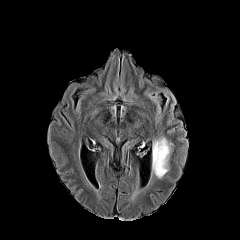
FLAIR magnetic resonance.
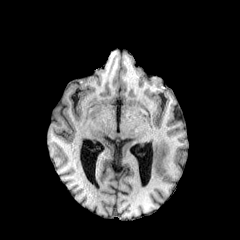
T1-weighted MRI of the same slice.
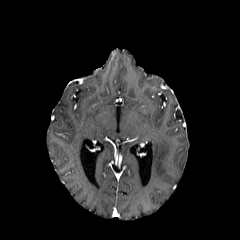
Same slice, post-contrast T1-weighted magnetic resonance.
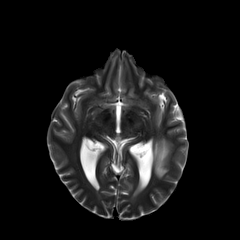
T2-weighted MR of the same slice.
Segmented structures:
• peritumoral edema: bbox(152, 136, 172, 178)